Image size 240x240; Image width 240 mm, 1.00 mm slice spacing; Axial plane
FLAIR MR image.
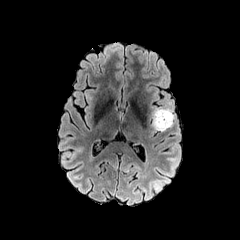
T1-weighted MR.
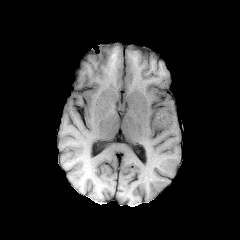
Post-contrast T1-weighted magnetic resonance.
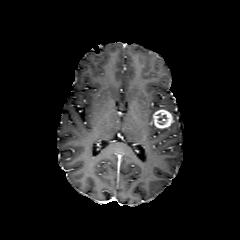
T2-weighted MR image.
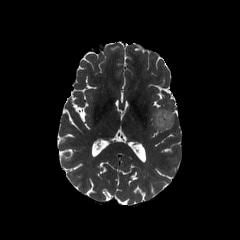
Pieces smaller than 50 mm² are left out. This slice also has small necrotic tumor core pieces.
enhancing tumor = 152 109 174 128
peritumoral edema = 152 101 174 119, 152 122 173 131